FLAIR MR.
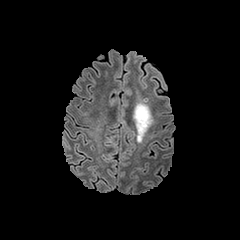
T1-weighted MR.
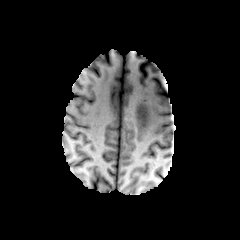
Post-contrast T1-weighted MR.
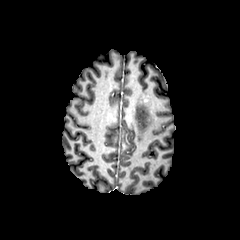
T2-weighted MRI.
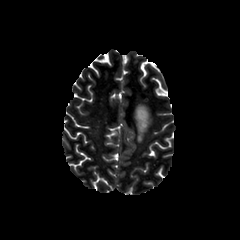
240x240, Axial plane, Brain
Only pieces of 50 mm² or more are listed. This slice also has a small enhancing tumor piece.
peritumoral edema: x1=134, y1=95, x2=152, y2=141